Head | Image width 240 mm, 1.00 mm slice spacing | Slice index 63
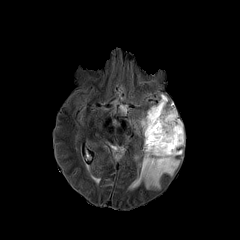
FLAIR MRI.
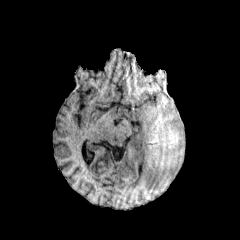
T1-weighted MRI of the same slice.
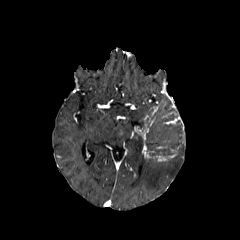
Same slice, post-contrast T1-weighted MR.
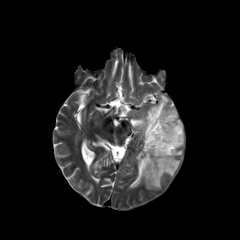
T2-weighted MRI.
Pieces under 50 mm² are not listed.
peritumoral_edema:
  - x1=141 y1=157 x2=179 y2=188
  - x1=158 y1=94 x2=167 y2=106
enhancing_tumor:
  - x1=142 y1=115 x2=176 y2=161
  - x1=164 y1=117 x2=180 y2=124
necrotic_tumor_core:
  - x1=145 y1=106 x2=183 y2=156